FLAIR MR image.
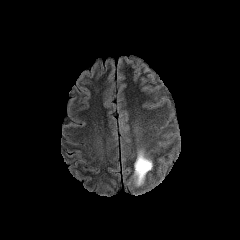
T1-weighted MR.
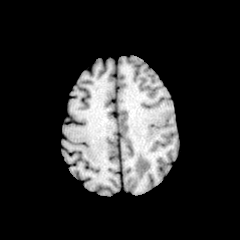
Post-contrast T1-weighted magnetic resonance.
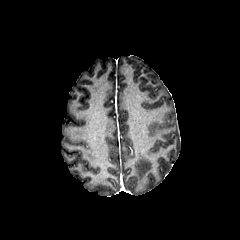
T2-weighted MR image.
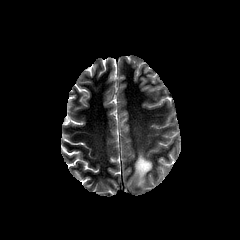
Axial plane | 240x240 px | Brain
The peritumoral edema is bounded by [134, 151, 152, 185].